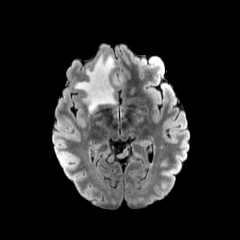
FLAIR MRI.
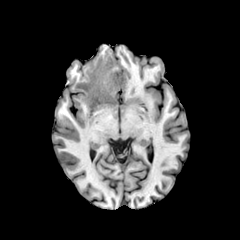
T1-weighted MRI of the same slice.
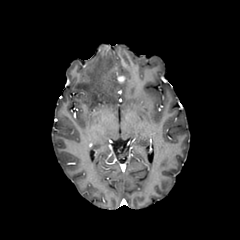
Post-contrast T1-weighted MR of the same slice.
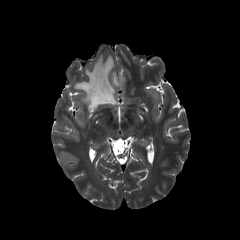
T2-weighted MR of the same slice.
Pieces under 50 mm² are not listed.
The enhancing tumor is located at 117,76,125,83. The largest peritumoral edema region appears at 75,55,122,111.